Image covers 240 mm x 240 mm. Axial view. 240x240 px. Head.
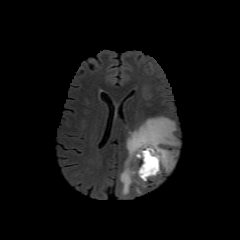
FLAIR magnetic resonance.
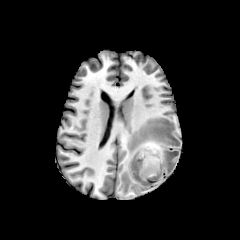
T1-weighted MR image of the same slice.
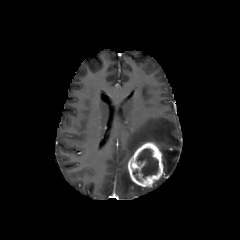
Same slice, post-contrast T1-weighted MR image.
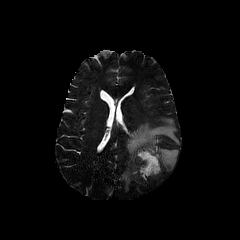
T2-weighted MR image.
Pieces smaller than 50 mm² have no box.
enhancing_tumor:
  - (x1=128, y1=142, x2=163, y2=187)
necrotic_tumor_core:
  - (x1=137, y1=149, x2=158, y2=178)
peritumoral_edema:
  - (x1=119, y1=116, x2=179, y2=194)